FLAIR magnetic resonance.
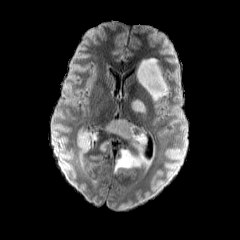
T1-weighted magnetic resonance.
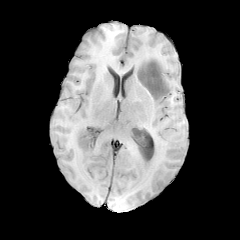
Post-contrast T1-weighted MRI.
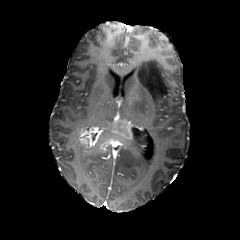
T2-weighted magnetic resonance.
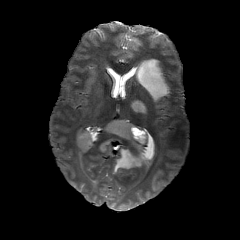
240x240, Brain
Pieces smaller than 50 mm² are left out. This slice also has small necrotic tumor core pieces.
{
  "enhancing_tumor": [
    "box=[106, 119, 136, 140]",
    "box=[100, 138, 114, 151]",
    "box=[78, 125, 104, 151]"
  ],
  "peritumoral_edema": [
    "box=[136, 58, 168, 101]",
    "box=[132, 130, 148, 145]",
    "box=[114, 146, 152, 172]",
    "box=[131, 100, 144, 111]"
  ]
}